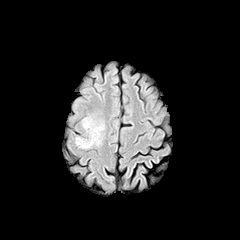
FLAIR MR image.
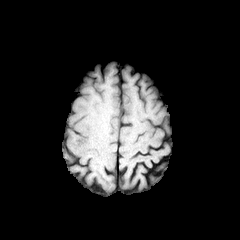
T1-weighted MRI.
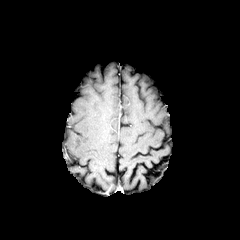
Same slice, post-contrast T1-weighted MR image.
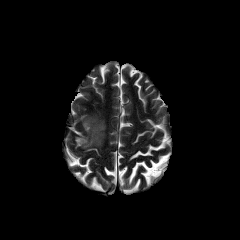
Same slice, T2-weighted MR image.
Brain
peritumoral edema = rect(83, 119, 92, 129); rect(76, 125, 102, 147)